Axial view
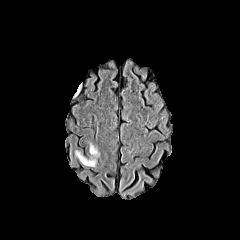
FLAIR MR image.
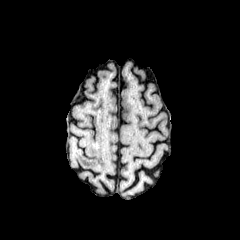
T1-weighted MR.
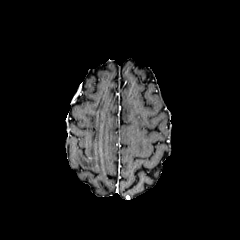
Same slice, post-contrast T1-weighted MR image.
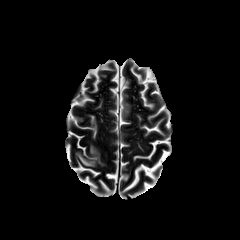
T2-weighted magnetic resonance of the same slice.
* peritumoral edema: {"x1": 75, "y1": 141, "x2": 101, "y2": 167}